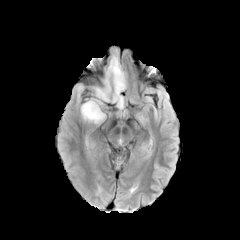
FLAIR magnetic resonance.
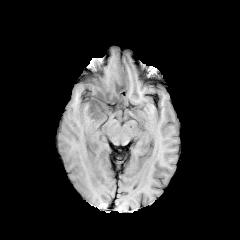
T1-weighted MR.
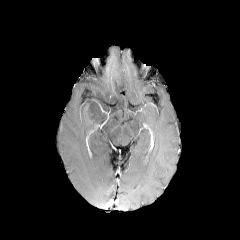
Post-contrast T1-weighted MRI of the same slice.
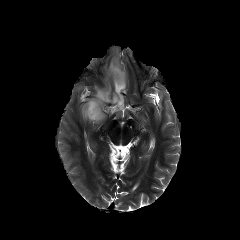
T2-weighted MRI of the same slice.
Axial plane.
{"peritumoral_edema": ["rect(80, 56, 126, 123)"]}